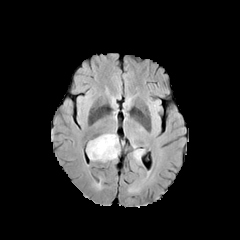
FLAIR MR image.
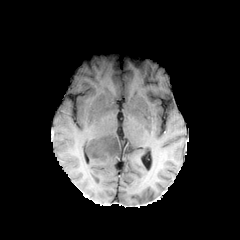
T1-weighted magnetic resonance of the same slice.
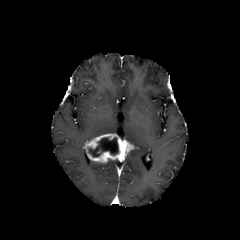
Post-contrast T1-weighted MR image.
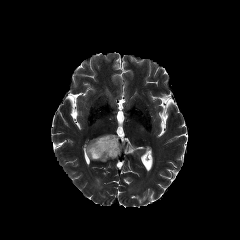
Same slice, T2-weighted magnetic resonance.
240x240
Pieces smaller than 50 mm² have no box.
• peritumoral edema: l=132, t=149, r=143, b=160
• enhancing tumor: l=85, t=133, r=134, b=162
• necrotic tumor core: l=89, t=137, r=118, b=157